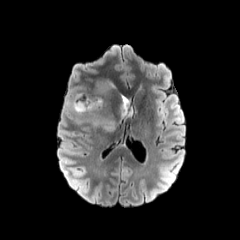
FLAIR MR.
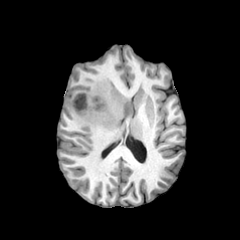
T1-weighted MR image of the same slice.
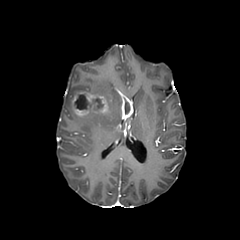
Post-contrast T1-weighted MR.
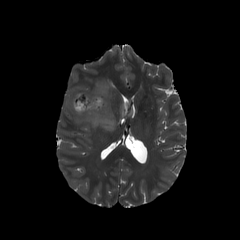
T2-weighted MR.
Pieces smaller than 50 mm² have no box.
2 necrotic tumor core regions are bounded by <bbox>125, 99, 129, 113</bbox>, <bbox>74, 94, 103, 110</bbox>. The largest peritumoral edema region is at <bbox>85, 78, 117, 131</bbox>. 2 enhancing tumor regions are located at <bbox>72, 92, 108, 116</bbox>, <bbox>118, 91, 133, 119</bbox>.